Slice 74/155, Head, 240x240
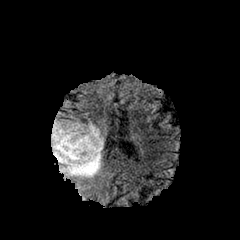
FLAIR magnetic resonance.
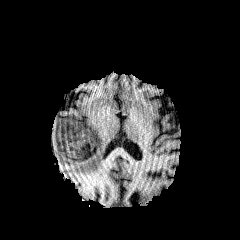
T1-weighted MR.
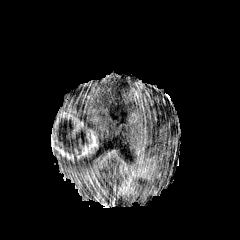
Post-contrast T1-weighted magnetic resonance of the same slice.
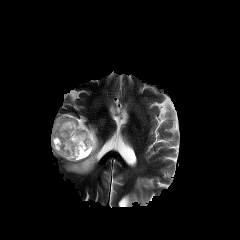
T2-weighted MR of the same slice.
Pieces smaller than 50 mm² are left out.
necrotic tumor core at 56,129,88,159
enhancing tumor at 51,112,98,161
peritumoral edema at 53,122,103,177